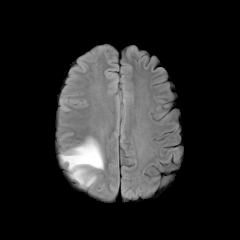
FLAIR magnetic resonance.
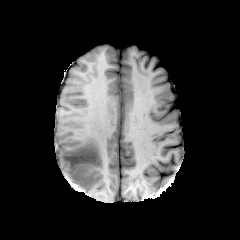
T1-weighted magnetic resonance.
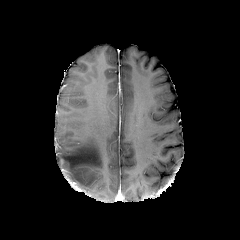
Post-contrast T1-weighted MR image.
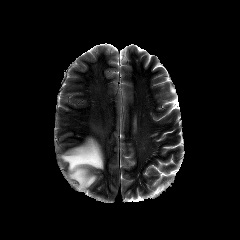
T2-weighted magnetic resonance.
Axial slice
peritumoral edema: {"x1": 60, "y1": 137, "x2": 103, "y2": 187}